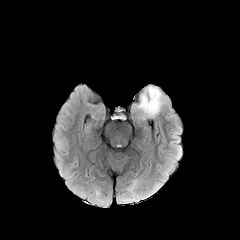
FLAIR MR.
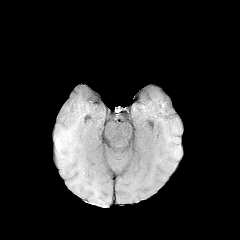
T1-weighted MR image.
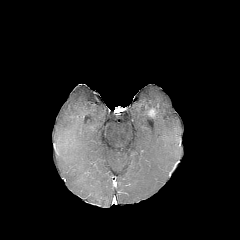
Same slice, post-contrast T1-weighted magnetic resonance.
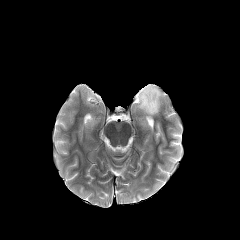
T2-weighted MRI.
240x240 px, Brain, Axial plane
The enhancing tumor lies within (148, 108, 155, 116). The peritumoral edema is at (134, 86, 164, 118).